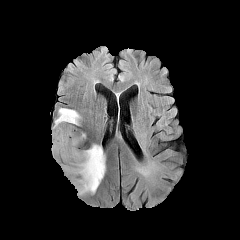
FLAIR MRI.
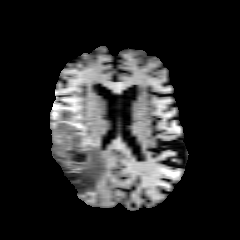
T1-weighted magnetic resonance.
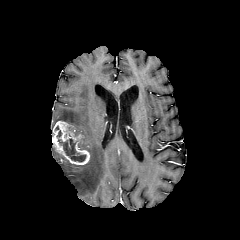
Same slice, post-contrast T1-weighted MR image.
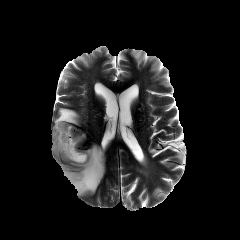
T2-weighted MRI.
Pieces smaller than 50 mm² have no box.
The largest necrotic tumor core region lies within x1=58 y1=139 x2=85 y2=161. The 2 largest peritumoral edema regions are bounded by x1=54 y1=108 x2=81 y2=125, x1=51 y1=144 x2=105 y2=195. The enhancing tumor is located at x1=52 y1=121 x2=89 y2=165.